FLAIR MR image.
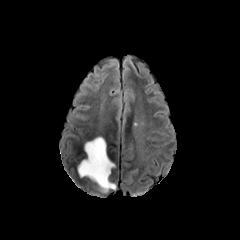
T1-weighted magnetic resonance.
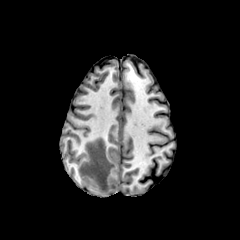
Post-contrast T1-weighted MRI.
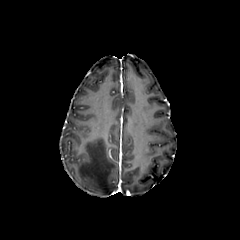
T2-weighted MRI.
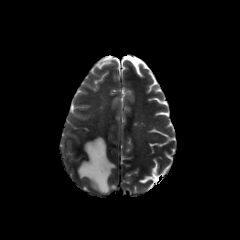
Brain; Axial view
Findings:
- peritumoral edema: bbox=[78, 137, 116, 193]